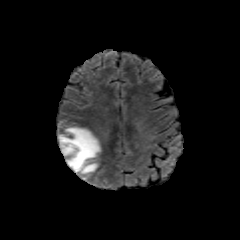
FLAIR MRI.
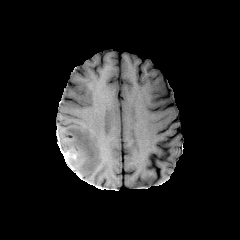
T1-weighted MRI.
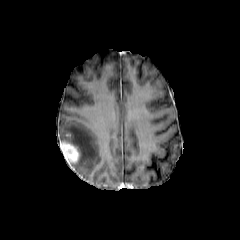
Post-contrast T1-weighted MR of the same slice.
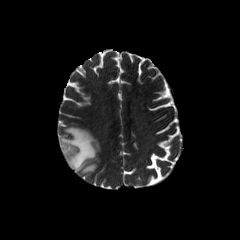
T2-weighted MRI of the same slice.
Segmented structures:
• enhancing tumor: bbox=[60, 141, 80, 169]
• peritumoral edema: bbox=[59, 126, 101, 179]